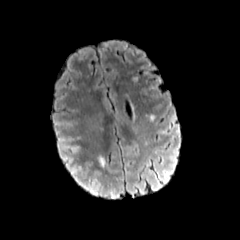
FLAIR MR image.
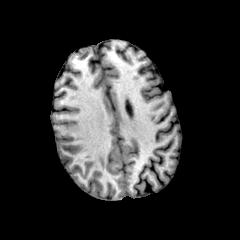
T1-weighted MR.
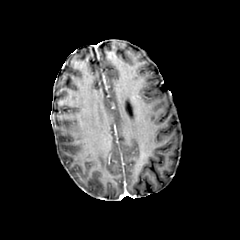
Same slice, post-contrast T1-weighted MR.
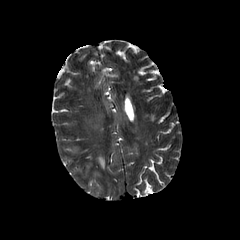
T2-weighted MR image.
Brain. 240x240 px.
peritumoral edema: (left=98, top=155, right=105, bottom=167)